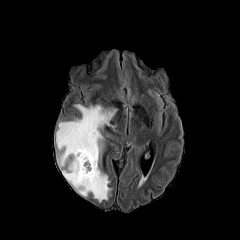
FLAIR MRI.
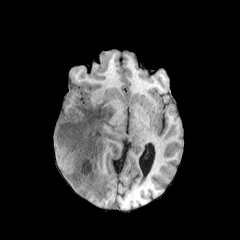
Same slice, T1-weighted MR.
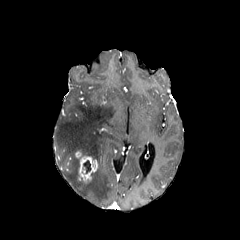
Post-contrast T1-weighted MRI of the same slice.
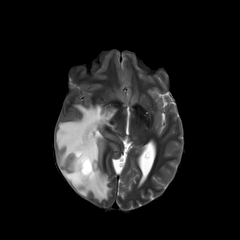
T2-weighted MR.
Head
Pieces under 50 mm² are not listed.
{
  "necrotic_tumor_core": [
    "83:160:91:173"
  ],
  "peritumoral_edema": [
    "56:104:116:202"
  ],
  "enhancing_tumor": [
    "75:151:97:182"
  ]
}